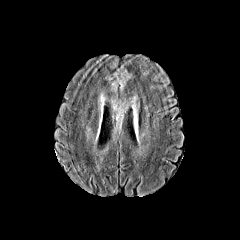
FLAIR MR.
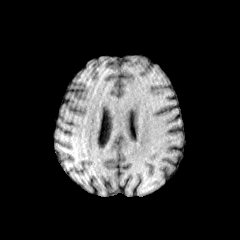
T1-weighted MRI.
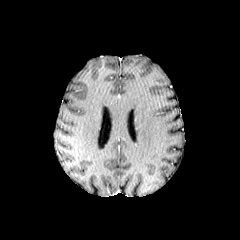
Post-contrast T1-weighted MR.
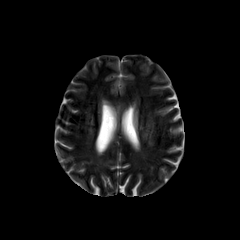
T2-weighted MRI.
Head | Image size 240x240
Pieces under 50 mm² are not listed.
peritumoral edema: x1=111 y1=69 x2=131 y2=91, x1=129 y1=94 x2=140 y2=113